FLAIR MR.
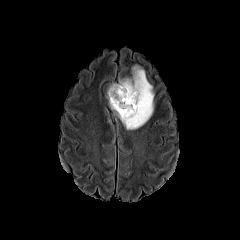
T1-weighted magnetic resonance.
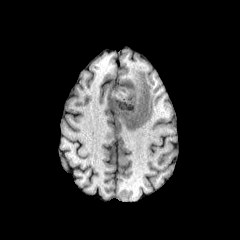
Post-contrast T1-weighted magnetic resonance.
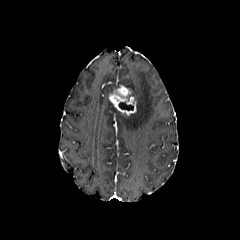
T2-weighted magnetic resonance.
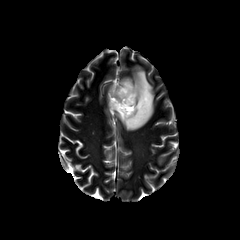
Axial plane.
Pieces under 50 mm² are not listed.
Findings:
* enhancing tumor: (109,85,136,115)
* peritumoral edema: (107,84,115,95), (110,65,154,130)
* necrotic tumor core: (118,102,133,110)